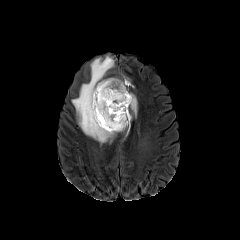
FLAIR magnetic resonance.
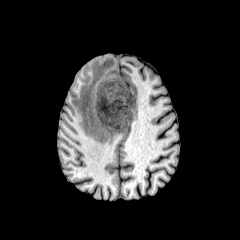
T1-weighted MR.
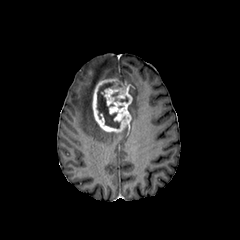
Same slice, post-contrast T1-weighted MRI.
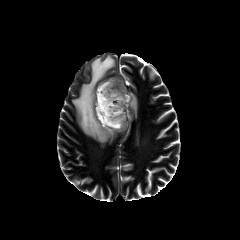
T2-weighted magnetic resonance of the same slice.
Brain; Axial plane
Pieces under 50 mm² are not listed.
- enhancing tumor: [92, 78, 132, 132]
- peritumoral edema: [128, 93, 137, 116], [72, 56, 115, 143]
- necrotic tumor core: [97, 82, 120, 128]